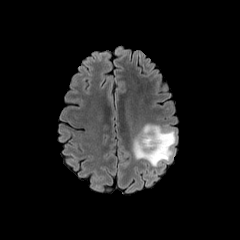
FLAIR MR.
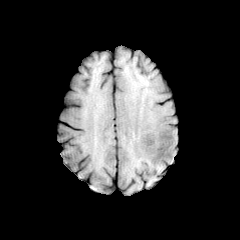
T1-weighted MR.
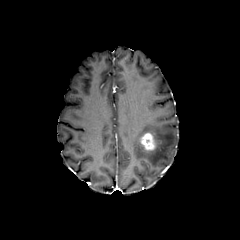
Post-contrast T1-weighted MRI.
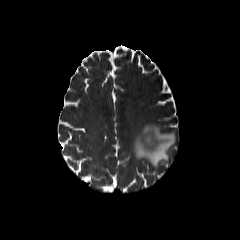
T2-weighted magnetic resonance.
The enhancing tumor is bounded by {"x1": 140, "y1": 132, "x2": 156, "y2": 151}. The peritumoral edema appears at {"x1": 132, "y1": 124, "x2": 176, "y2": 167}.